Brain | Image covers 240 mm x 240 mm | Axial plane
FLAIR MR image.
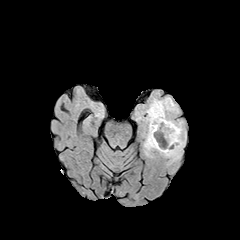
T1-weighted MR image.
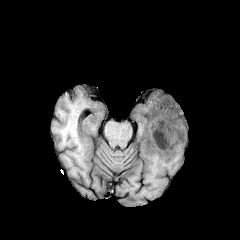
Post-contrast T1-weighted MR image.
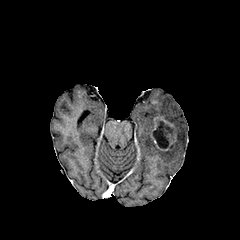
T2-weighted MR image.
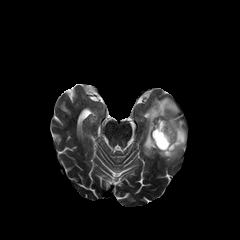
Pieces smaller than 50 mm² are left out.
The enhancing tumor is located at [151, 116, 176, 150]. The largest necrotic tumor core region is located at [152, 121, 173, 148]. The peritumoral edema is bounded by [144, 97, 186, 160].